FLAIR MR.
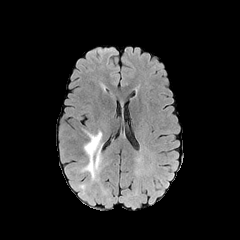
T1-weighted magnetic resonance.
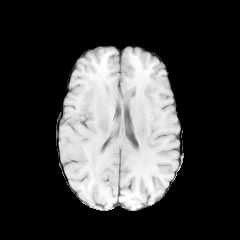
Post-contrast T1-weighted magnetic resonance.
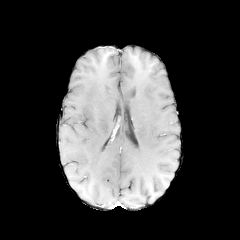
T2-weighted magnetic resonance.
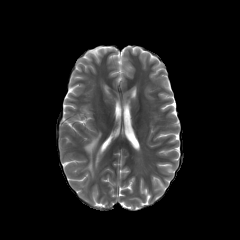
Head
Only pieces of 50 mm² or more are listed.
Segmented structures:
• peritumoral edema: 71,130,102,180